FLAIR magnetic resonance.
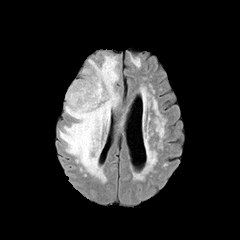
T1-weighted magnetic resonance.
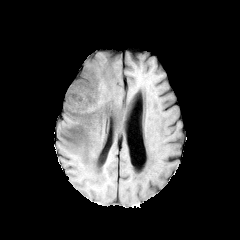
Post-contrast T1-weighted magnetic resonance.
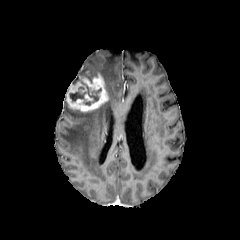
T2-weighted MR image.
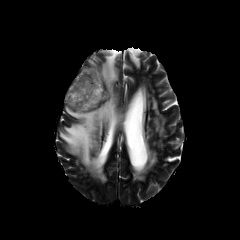
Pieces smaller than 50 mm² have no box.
peritumoral_edema:
  - [59, 54, 119, 178]
enhancing_tumor:
  - [66, 73, 108, 111]
necrotic_tumor_core:
  - [70, 86, 101, 105]